FLAIR magnetic resonance.
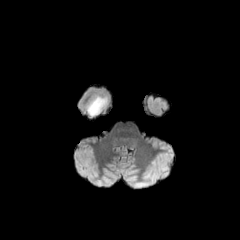
T1-weighted MRI.
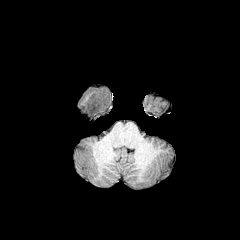
Post-contrast T1-weighted MR.
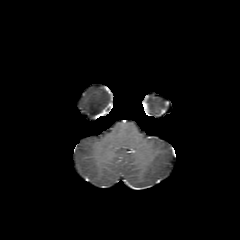
T2-weighted MR.
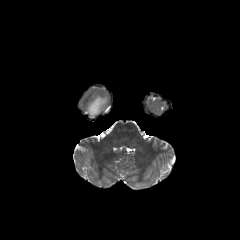
Image size 240x240
The peritumoral edema lies within [x1=86, y1=95, x2=107, y2=117].